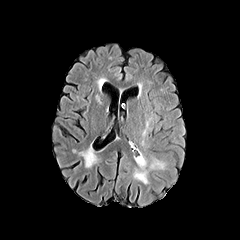
FLAIR MRI.
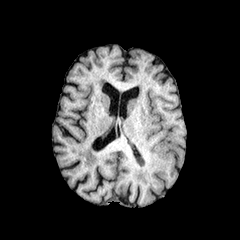
T1-weighted MRI.
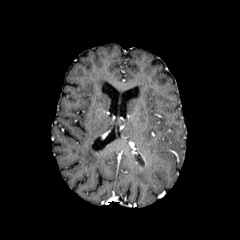
Post-contrast T1-weighted MR image.
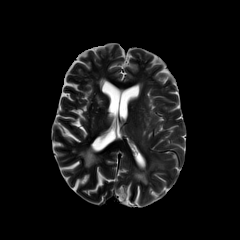
T2-weighted MRI of the same slice.
Axial view, Brain, 240x240
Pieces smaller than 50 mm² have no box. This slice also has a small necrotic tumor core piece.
peritumoral edema: 135,154,146,170